FLAIR MR.
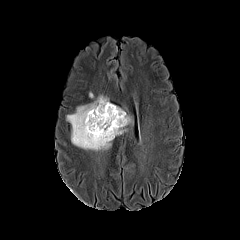
T1-weighted MR image.
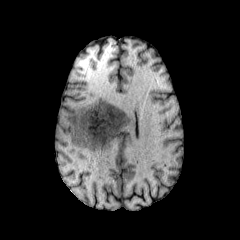
Post-contrast T1-weighted MR image.
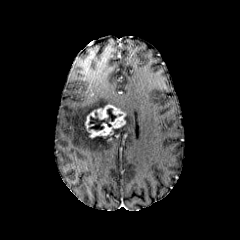
T2-weighted MRI.
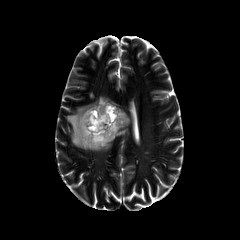
Head; Axial slice
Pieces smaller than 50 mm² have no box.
necrotic tumor core: box(89, 108, 116, 130)
peritumoral edema: box(66, 95, 131, 151)
enhancing tumor: box(85, 104, 125, 138)